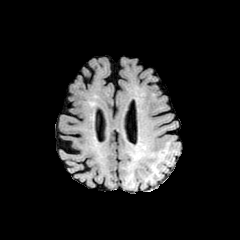
FLAIR MR.
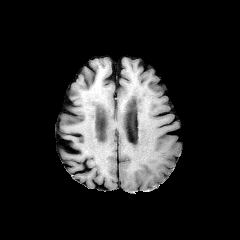
T1-weighted MR.
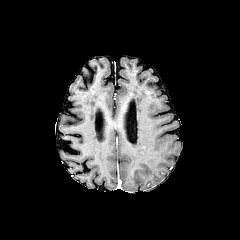
Same slice, post-contrast T1-weighted MR image.
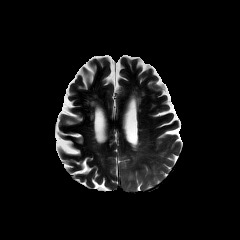
T2-weighted MR.
240x240 px | Brain | Axial view
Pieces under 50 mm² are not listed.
<segmentation>
  <peritumoral_edema>128, 163, 134, 180</peritumoral_edema>
</segmentation>